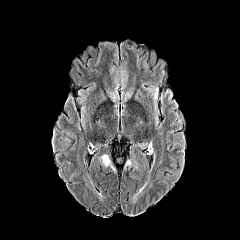
FLAIR MR.
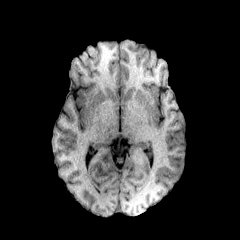
T1-weighted magnetic resonance of the same slice.
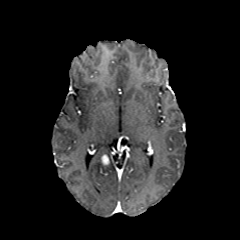
Same slice, post-contrast T1-weighted magnetic resonance.
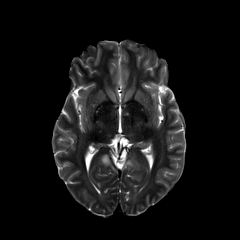
T2-weighted magnetic resonance of the same slice.
Head, 240x240 px
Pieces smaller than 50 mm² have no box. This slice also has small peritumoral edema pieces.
The enhancing tumor appears at box(101, 155, 109, 164).